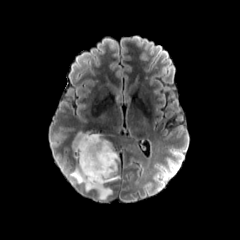
FLAIR magnetic resonance.
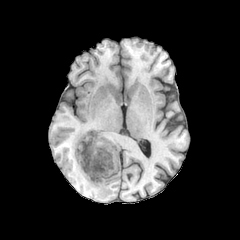
Same slice, T1-weighted magnetic resonance.
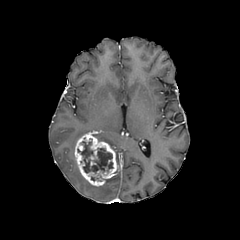
Post-contrast T1-weighted MRI of the same slice.
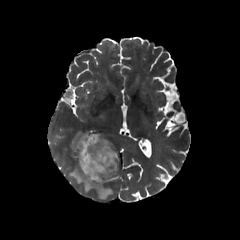
Same slice, T2-weighted MRI.
240x240
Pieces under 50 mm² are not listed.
* necrotic tumor core: bbox(77, 141, 113, 173)
* peritumoral edema: bbox(106, 175, 119, 182); bbox(70, 166, 112, 198); bbox(72, 131, 85, 152); bbox(95, 133, 111, 146)
* enhancing tumor: bbox(74, 132, 117, 186)